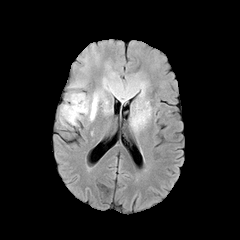
FLAIR MRI.
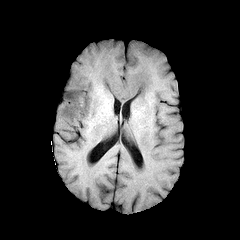
T1-weighted MR.
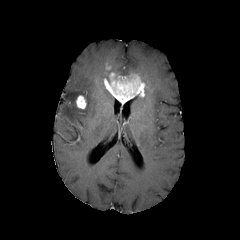
Post-contrast T1-weighted MR.
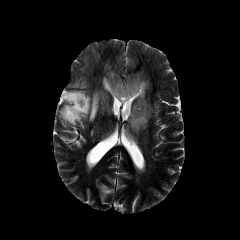
T2-weighted MRI.
Axial plane. 240x240.
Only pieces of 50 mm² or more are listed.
The 3 largest peritumoral edema regions are located at [59,63,113,127], [69,79,86,88], [130,73,152,131]. The 2 largest enhancing tumor regions are bounded by [75,95,86,109], [103,72,146,104].